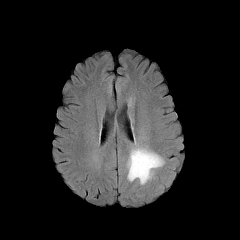
FLAIR MR image.
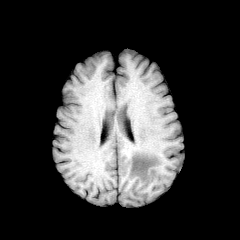
T1-weighted MR of the same slice.
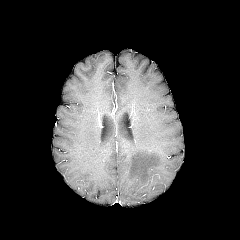
Same slice, post-contrast T1-weighted MR image.
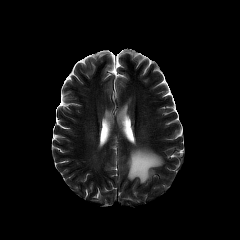
T2-weighted MR.
Axial view
peritumoral edema at left=127, top=147, right=164, bottom=184